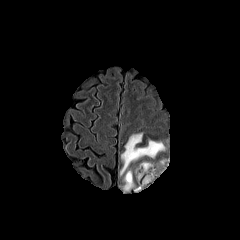
FLAIR MR image.
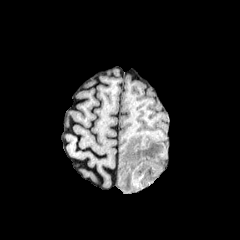
Same slice, T1-weighted MRI.
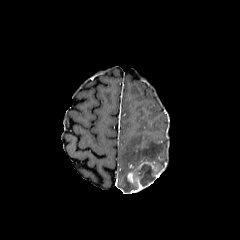
Post-contrast T1-weighted MRI of the same slice.
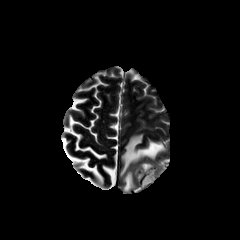
Same slice, T2-weighted magnetic resonance.
Brain, Axial plane
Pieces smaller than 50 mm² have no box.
Segmented structures:
* necrotic tumor core: region(137, 164, 154, 184)
* peritumoral edema: region(119, 133, 165, 191)
* enhancing tumor: region(127, 161, 163, 190)